FLAIR MR.
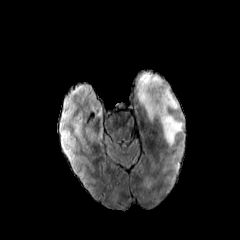
T1-weighted MR image.
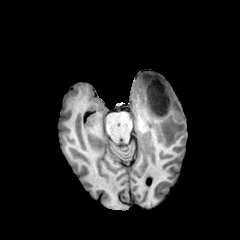
Post-contrast T1-weighted MRI.
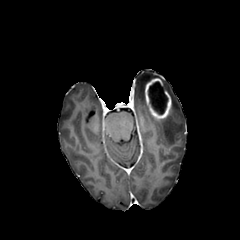
T2-weighted MRI.
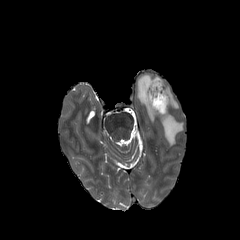
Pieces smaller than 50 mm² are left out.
The enhancing tumor lies within 145 78 171 119. The necrotic tumor core is located at 148 81 167 114. The 3 largest peritumoral edema regions are located at 137 73 159 120, 159 114 183 145, 165 84 179 109.